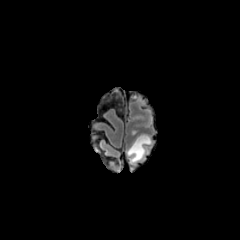
FLAIR MRI.
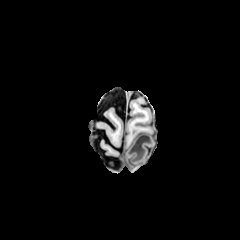
Same slice, T1-weighted MRI.
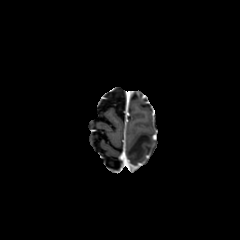
Post-contrast T1-weighted MR image.
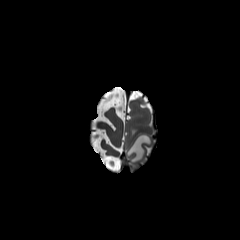
Same slice, T2-weighted magnetic resonance.
Axial view. Image size 240x240. Head.
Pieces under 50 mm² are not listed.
The largest peritumoral edema region lies within left=126, top=134, right=152, bottom=163.